Image width 240 mm, 1.00 mm slice spacing, Slice 90/155
FLAIR MR image.
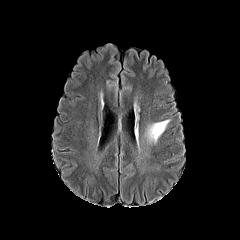
T1-weighted MRI.
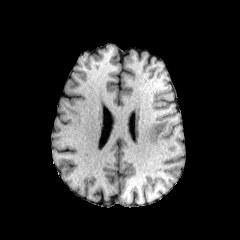
Post-contrast T1-weighted MR image.
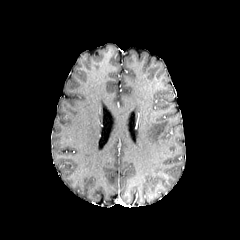
T2-weighted MRI.
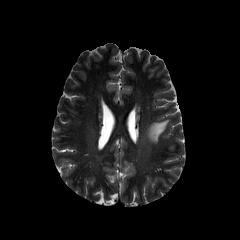
The peritumoral edema is located at left=145, top=120, right=169, bottom=143.